FLAIR MR.
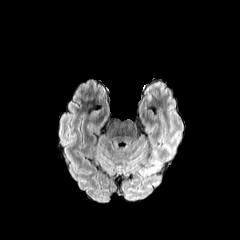
T1-weighted MR image.
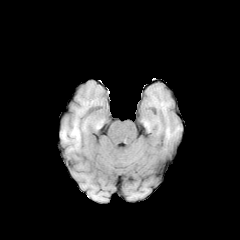
Post-contrast T1-weighted MR.
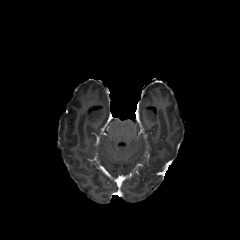
T2-weighted MR image.
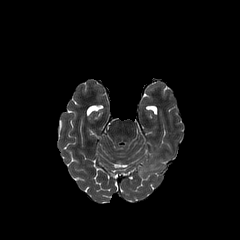
Brain
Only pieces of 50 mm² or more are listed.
{"peritumoral_edema": ["left=139, top=166, right=159, bottom=173"]}